Slice index 105. Head. Image width 240 mm.
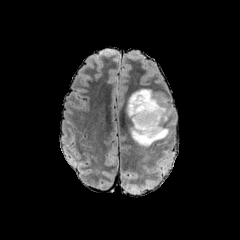
FLAIR MR image.
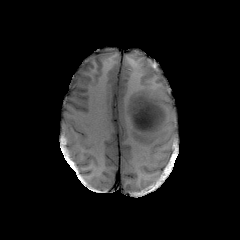
T1-weighted MR image of the same slice.
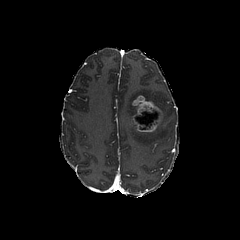
Post-contrast T1-weighted MRI.
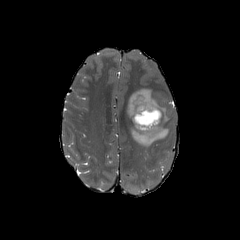
T2-weighted magnetic resonance.
peritumoral edema — left=131, top=121, right=168, bottom=146; left=127, top=89, right=166, bottom=122
enhancing tumor — left=132, top=95, right=162, bottom=132
necrotic tumor core — left=135, top=110, right=158, bottom=129